Image size 240x240.
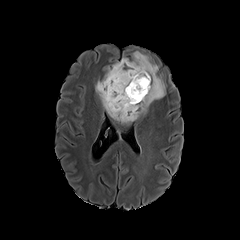
FLAIR magnetic resonance.
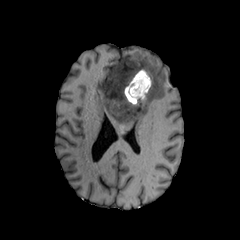
Same slice, T1-weighted magnetic resonance.
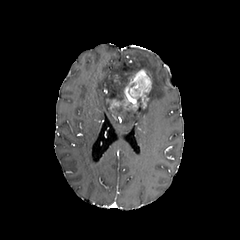
Same slice, post-contrast T1-weighted MR image.
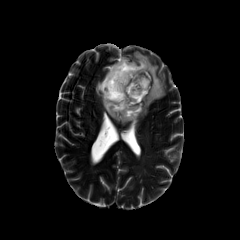
T2-weighted MRI.
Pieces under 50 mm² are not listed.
enhancing tumor at box=[106, 69, 151, 119]
necrotic tumor core at box=[104, 63, 135, 101]; box=[114, 106, 132, 118]
peritumoral edema at box=[94, 51, 167, 126]